240x240 px; Head
FLAIR MR.
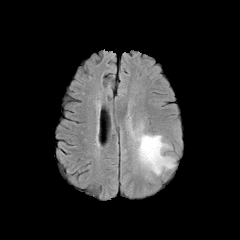
T1-weighted MRI.
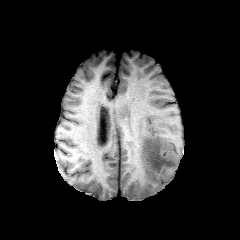
Post-contrast T1-weighted magnetic resonance.
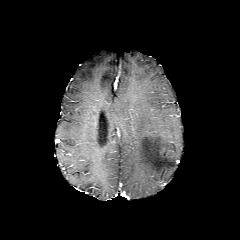
T2-weighted MR.
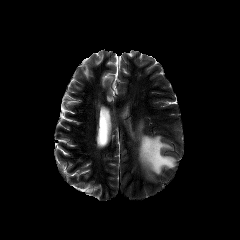
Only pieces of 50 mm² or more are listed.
<segmentation>
  <peritumoral_edema>137 125 175 178</peritumoral_edema>
</segmentation>